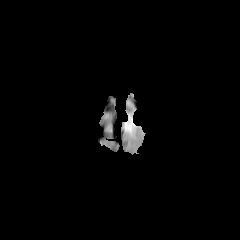
FLAIR MR image.
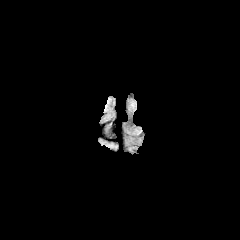
Same slice, T1-weighted magnetic resonance.
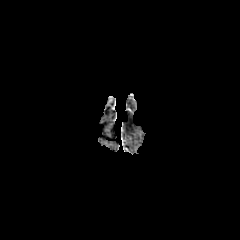
Post-contrast T1-weighted MRI.
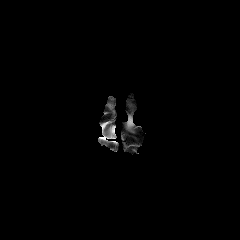
T2-weighted magnetic resonance of the same slice.
Axial slice
- peritumoral edema: x1=125 y1=115 x2=134 y2=132